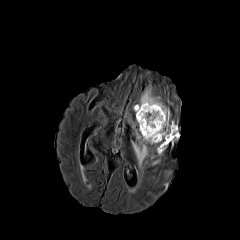
FLAIR MRI.
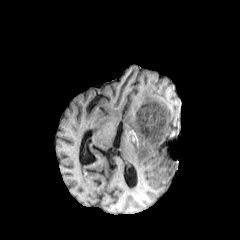
T1-weighted magnetic resonance.
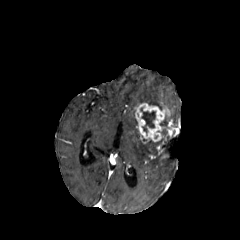
Same slice, post-contrast T1-weighted magnetic resonance.
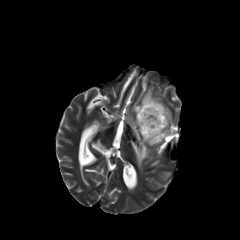
T2-weighted magnetic resonance.
Axial plane; 240x240 px
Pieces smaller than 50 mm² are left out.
The largest enhancing tumor region appears at left=134, top=102, right=178, bottom=155. The largest necrotic tumor core region is located at left=140, top=108, right=155, bottom=132. The 3 largest peritumoral edema regions are located at left=161, top=134, right=178, bottom=148; left=140, top=86, right=162, bottom=109; left=129, top=120, right=158, bottom=168.